240x240 px, Image covers 240 mm x 240 mm, Axial slice
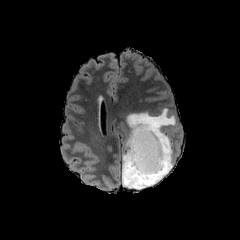
FLAIR MR image.
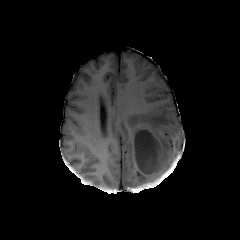
T1-weighted MRI of the same slice.
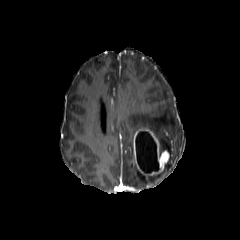
Same slice, post-contrast T1-weighted magnetic resonance.
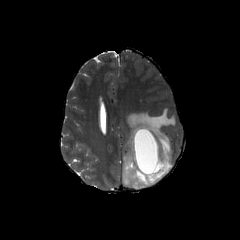
T2-weighted MRI of the same slice.
necrotic tumor core = [135, 131, 159, 173]
enhancing tumor = [133, 128, 169, 176]
peritumoral edema = [122, 108, 177, 188]